Axial plane | Image width 240 mm
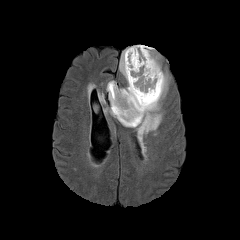
FLAIR MR image.
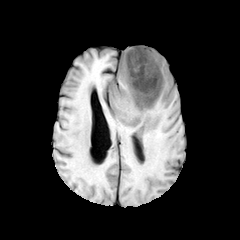
T1-weighted MR.
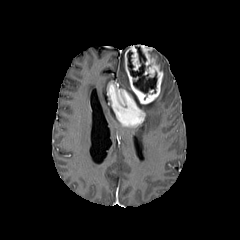
Post-contrast T1-weighted MRI of the same slice.
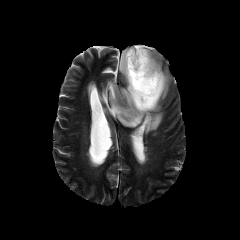
T2-weighted magnetic resonance of the same slice.
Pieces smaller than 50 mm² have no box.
Segmented structures:
* enhancing tumor: (107,45,163,127)
* necrotic tumor core: (127,46,157,93)
* peritumoral edema: (133,71,169,143), (119,49,129,90), (104,107,115,117), (98,93,104,103), (153,49,161,69)